Slice 87 of 155. Image width 240 mm. Brain.
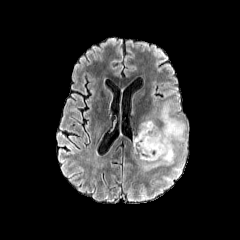
FLAIR MR.
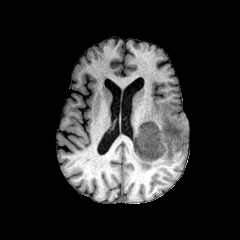
T1-weighted MRI.
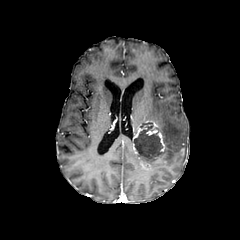
Post-contrast T1-weighted MRI.
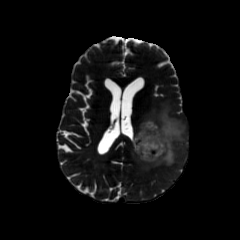
T2-weighted MRI of the same slice.
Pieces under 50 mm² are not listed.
peritumoral edema = box(139, 101, 187, 170)
enhancing tumor = box(133, 123, 146, 155); box(138, 120, 165, 167)
necrotic tumor core = box(134, 122, 162, 158)